Head
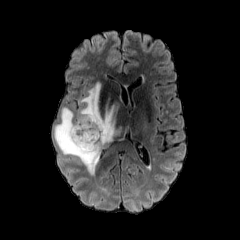
FLAIR MR image.
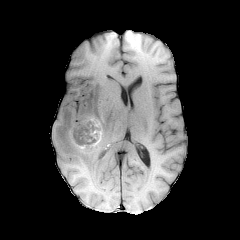
T1-weighted MR.
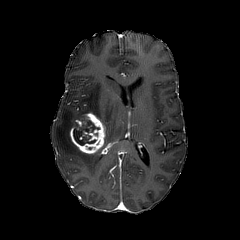
Post-contrast T1-weighted magnetic resonance.
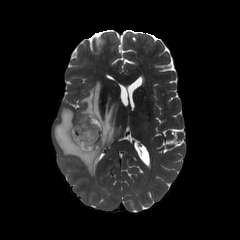
T2-weighted MRI of the same slice.
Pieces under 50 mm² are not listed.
* peritumoral edema: x1=53, y1=81, x2=128, y2=174
* enhancing tumor: x1=70, y1=112, x2=105, y2=154
* necrotic tumor core: x1=73, y1=119, x2=99, y2=145